240x240 px; Axial plane; Head
FLAIR magnetic resonance.
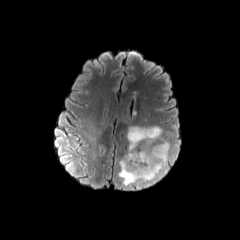
T1-weighted MR image.
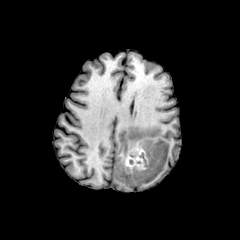
Post-contrast T1-weighted magnetic resonance.
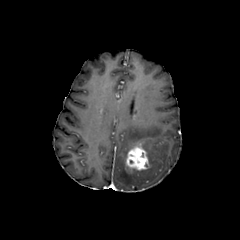
T2-weighted magnetic resonance.
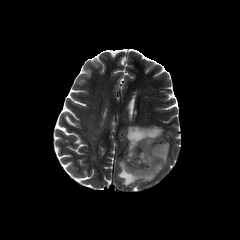
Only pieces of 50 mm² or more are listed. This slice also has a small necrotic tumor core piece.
peritumoral edema = 118,126,169,186
enhancing tumor = 126,144,149,170